Image covers 240 mm x 240 mm, Axial view
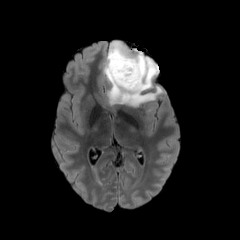
FLAIR MR.
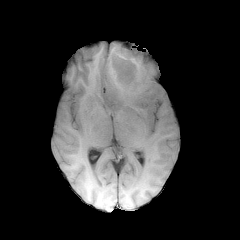
T1-weighted MR image.
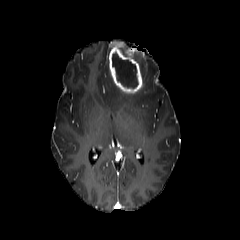
Same slice, post-contrast T1-weighted MR.
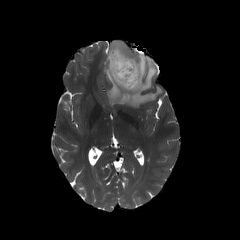
Same slice, T2-weighted MRI.
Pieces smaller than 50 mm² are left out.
peritumoral edema at (left=103, top=50, right=163, bottom=107)
necrotic tumor core at (left=112, top=53, right=137, bottom=87)
enhancing tumor at (left=108, top=42, right=143, bottom=94)